FLAIR MRI.
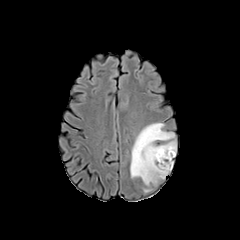
T1-weighted magnetic resonance.
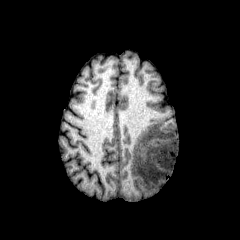
Post-contrast T1-weighted MRI.
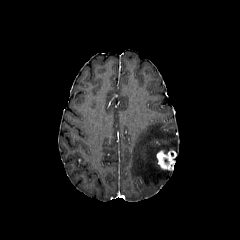
T2-weighted MR image.
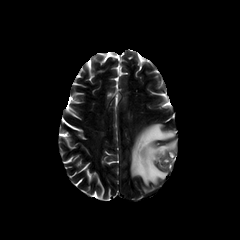
Image size 240x240. Brain.
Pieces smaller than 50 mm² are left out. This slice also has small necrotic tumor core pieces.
The enhancing tumor appears at box=[156, 149, 176, 170]. The largest peritumoral edema region lies within box=[130, 123, 176, 185].